Slice 118 of 155, Axial view, Head
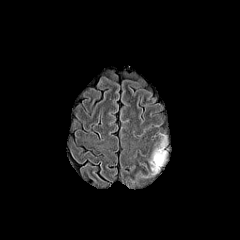
FLAIR MR image.
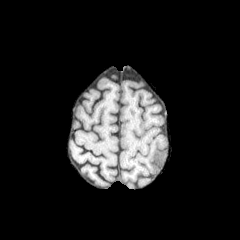
T1-weighted MR image of the same slice.
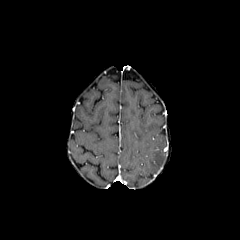
Same slice, post-contrast T1-weighted MR image.
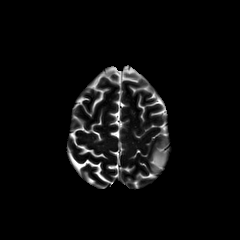
T2-weighted MRI.
peritumoral edema: (left=149, top=137, right=166, bottom=173)